Slice 67 of 155. Image width 240 mm, 1.00 mm slice spacing.
FLAIR MRI.
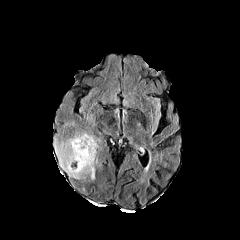
T1-weighted MRI.
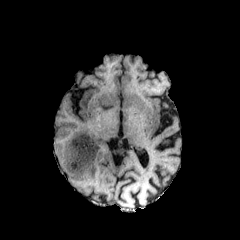
Post-contrast T1-weighted magnetic resonance.
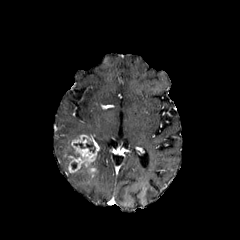
T2-weighted magnetic resonance.
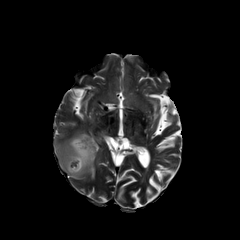
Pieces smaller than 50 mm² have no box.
enhancing tumor: bounding box [69,135,96,172]
peritumoral edema: bounding box [55,133,96,179]
necrotic tumor core: bounding box [73,137,95,154], [71,161,78,170]